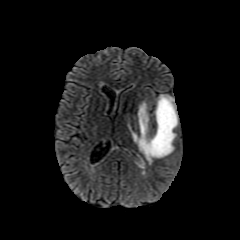
FLAIR magnetic resonance.
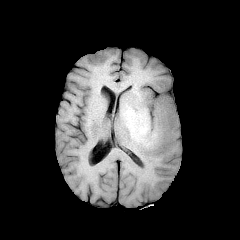
T1-weighted MR.
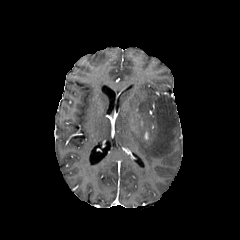
Post-contrast T1-weighted magnetic resonance.
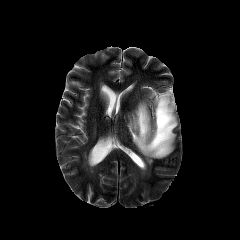
T2-weighted MR image of the same slice.
Image size 240x240.
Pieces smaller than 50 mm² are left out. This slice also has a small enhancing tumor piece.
peritumoral edema: l=128, t=94, r=178, b=164